Image size 240x240, Slice 83 of 155, Image width 240 mm, Head
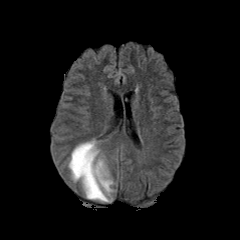
FLAIR magnetic resonance.
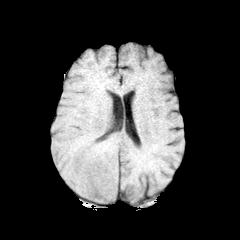
Same slice, T1-weighted MR image.
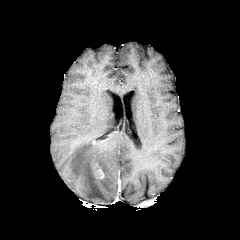
Same slice, post-contrast T1-weighted MRI.
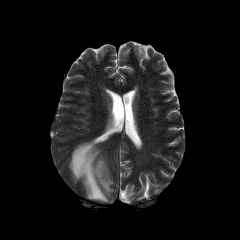
T2-weighted MR image.
The enhancing tumor is at [96, 169, 103, 178]. The peritumoral edema is bounded by [68, 139, 113, 202].